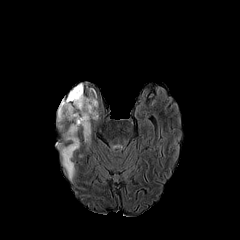
FLAIR MRI.
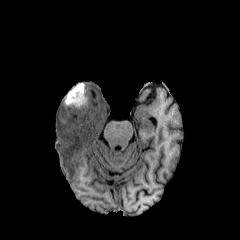
T1-weighted MR image of the same slice.
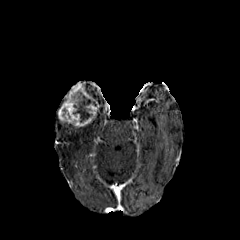
Post-contrast T1-weighted magnetic resonance.
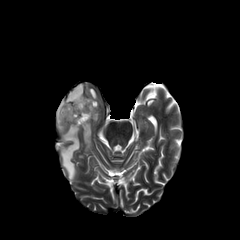
T2-weighted MRI of the same slice.
Axial view
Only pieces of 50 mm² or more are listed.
necrotic_tumor_core:
  - 65:83:91:122
  - 85:87:97:100
enhancing_tumor:
  - 58:84:99:129
peritumoral_edema:
  - 57:112:67:130
  - 83:123:91:144
  - 57:125:79:179